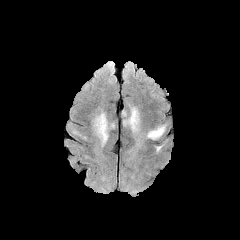
FLAIR magnetic resonance.
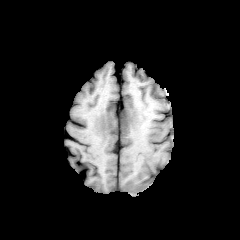
T1-weighted MRI.
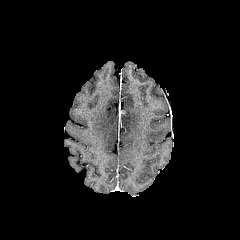
Post-contrast T1-weighted MRI.
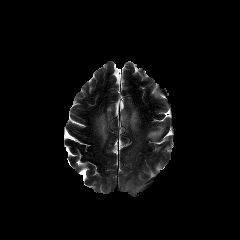
T2-weighted MR image of the same slice.
240x240 px; Axial view
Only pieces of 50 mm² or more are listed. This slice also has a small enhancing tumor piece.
peritumoral edema — <bbox>147, 126, 165, 139</bbox>, <bbox>123, 104, 139, 132</bbox>, <bbox>94, 112, 108, 145</bbox>